Slice 118/155. Head.
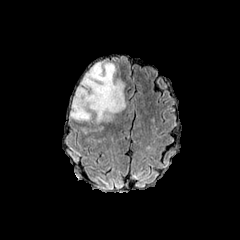
FLAIR MR image.
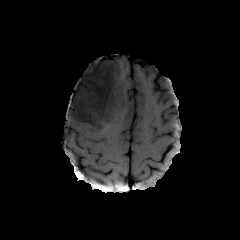
Same slice, T1-weighted MR image.
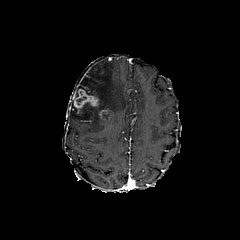
Post-contrast T1-weighted MR image.
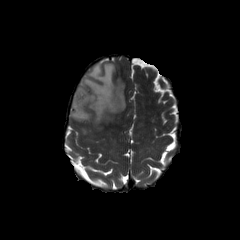
T2-weighted magnetic resonance of the same slice.
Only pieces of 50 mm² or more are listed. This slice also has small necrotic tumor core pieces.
Annotated regions:
- peritumoral edema: box=[70, 61, 126, 128]
- enhancing tumor: box=[98, 109, 112, 120]; box=[73, 88, 99, 110]